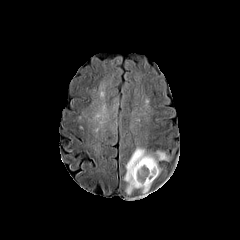
FLAIR magnetic resonance.
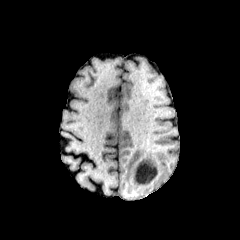
Same slice, T1-weighted MRI.
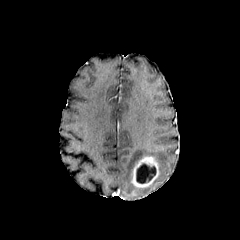
Same slice, post-contrast T1-weighted magnetic resonance.
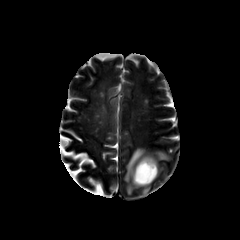
T2-weighted MR image of the same slice.
Head, Axial view
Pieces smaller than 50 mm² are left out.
peritumoral edema — bbox=[124, 147, 168, 195]
necrotic tumor core — bbox=[136, 164, 156, 183]
enhancing tumor — bbox=[131, 156, 159, 187]